Slice 47/155 | Axial slice
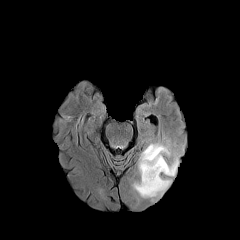
FLAIR magnetic resonance.
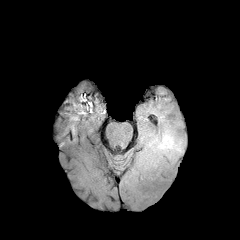
T1-weighted MR.
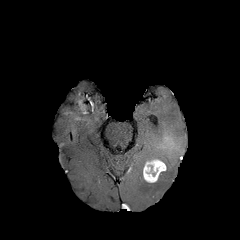
Post-contrast T1-weighted MR image of the same slice.
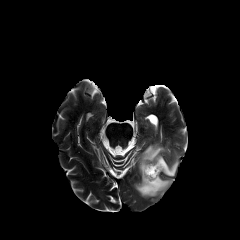
T2-weighted MRI.
peritumoral edema: <bbox>133, 143, 179, 200</bbox> | necrotic tumor core: <bbox>147, 165, 158, 176</bbox> | enhancing tumor: <bbox>143, 159, 166, 183</bbox>